FLAIR MRI.
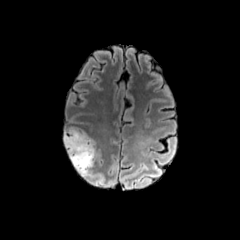
T1-weighted magnetic resonance.
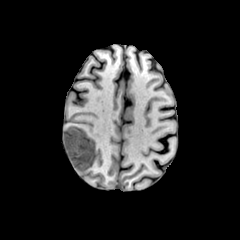
Post-contrast T1-weighted MR.
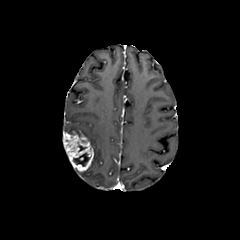
T2-weighted MR image.
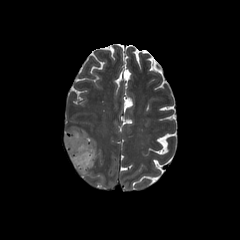
Brain
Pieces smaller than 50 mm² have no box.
The largest enhancing tumor region appears at region(63, 131, 94, 171). The largest necrotic tumor core region is located at region(73, 153, 90, 166). The largest peritumoral edema region lies within region(64, 127, 98, 166).